Axial slice, Brain, 240x240
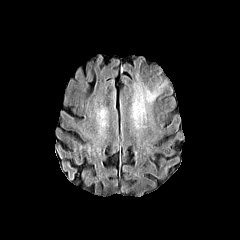
FLAIR magnetic resonance.
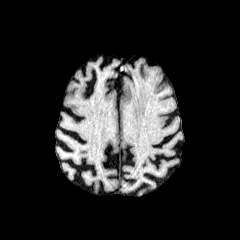
T1-weighted MR image of the same slice.
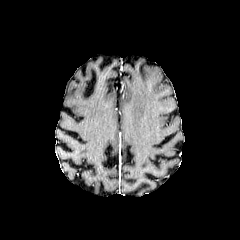
Post-contrast T1-weighted magnetic resonance.
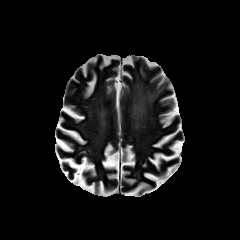
T2-weighted magnetic resonance.
<segmentation>
  <peritumoral_edema><bbox>132, 86, 159, 118</bbox></peritumoral_edema>
</segmentation>